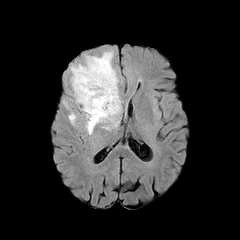
FLAIR MRI.
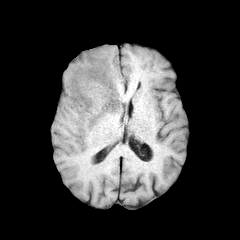
T1-weighted MR.
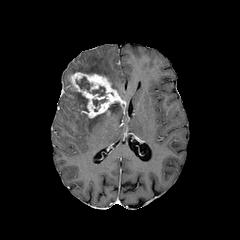
Post-contrast T1-weighted magnetic resonance.
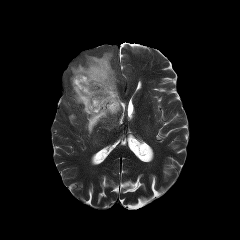
T2-weighted MRI.
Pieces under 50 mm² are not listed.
enhancing tumor = (x1=70, y1=72, x2=124, y2=118)
peritumoral edema = (x1=68, y1=113, x2=75, y2=124), (x1=71, y1=51, x2=118, y2=90), (x1=73, y1=92, x2=88, y2=112), (x1=85, y1=102, x2=121, y2=134)
necrotic tumor core = (x1=93, y1=98, x2=106, y2=106), (x1=76, y1=77, x2=105, y2=96)